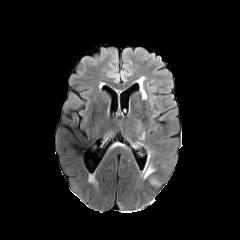
FLAIR MR image.
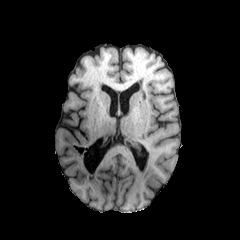
T1-weighted MR image.
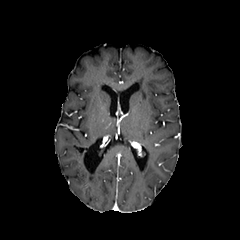
Post-contrast T1-weighted MR image of the same slice.
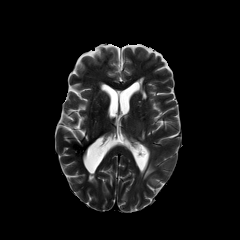
T2-weighted MRI.
Head.
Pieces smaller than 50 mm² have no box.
The largest peritumoral edema region appears at l=143, t=165, r=154, b=179.